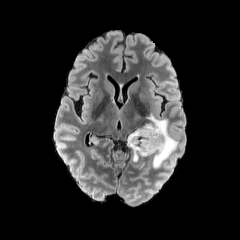
FLAIR MR.
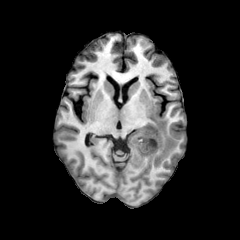
Same slice, T1-weighted MR.
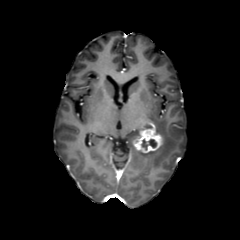
Post-contrast T1-weighted MR image of the same slice.
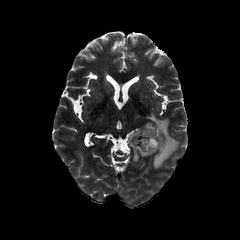
Same slice, T2-weighted MR.
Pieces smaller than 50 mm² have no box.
<segmentation>
  <necrotic_tumor_core>148, 139, 156, 147</necrotic_tumor_core>
  <peritumoral_edema>127, 112, 178, 168</peritumoral_edema>
  <enhancing_tumor>133, 128, 162, 153</enhancing_tumor>
</segmentation>